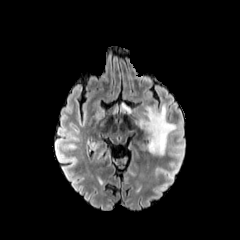
FLAIR magnetic resonance.
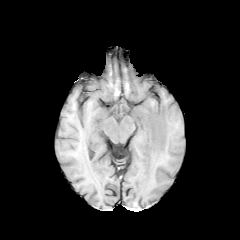
Same slice, T1-weighted MRI.
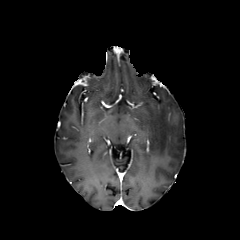
Post-contrast T1-weighted MR image.
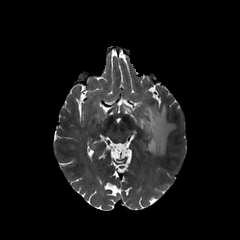
T2-weighted magnetic resonance of the same slice.
Axial slice | 240x240 px
peritumoral edema at bbox=[121, 102, 132, 113]; bbox=[138, 104, 176, 154]